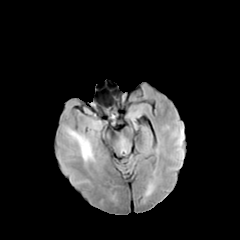
FLAIR magnetic resonance.
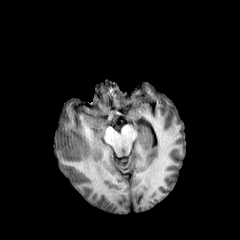
T1-weighted MR of the same slice.
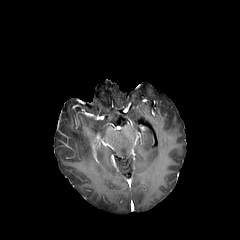
Post-contrast T1-weighted MRI.
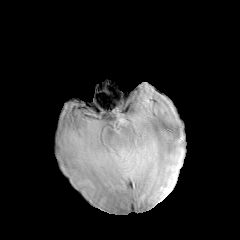
Same slice, T2-weighted magnetic resonance.
Axial slice. 240x240.
peritumoral edema: bounding box [69,130,92,160]